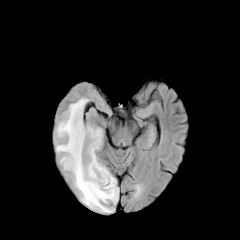
FLAIR magnetic resonance.
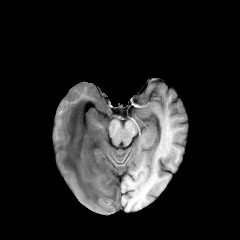
Same slice, T1-weighted magnetic resonance.
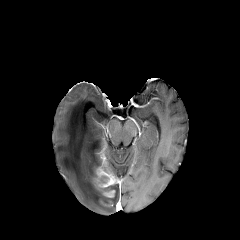
Post-contrast T1-weighted MR.
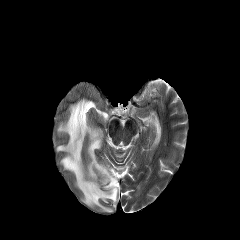
T2-weighted MR image of the same slice.
Axial plane
peritumoral edema = (56,98,118,212)
enhancing tumor = (94,147,118,189), (103,190,115,197)